Slice 74 of 155
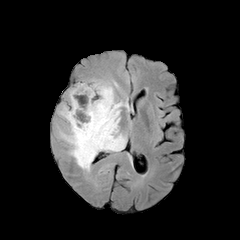
FLAIR MR.
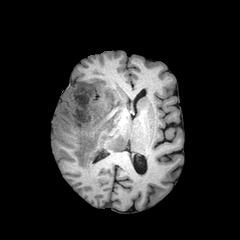
T1-weighted magnetic resonance.
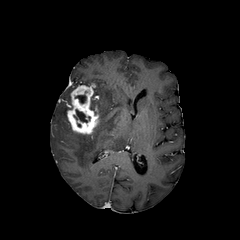
Post-contrast T1-weighted magnetic resonance of the same slice.
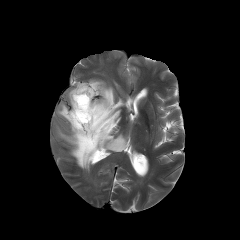
T2-weighted magnetic resonance.
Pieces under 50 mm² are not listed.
The 2 largest necrotic tumor core regions are bounded by [74,110,87,122], [75,95,86,103]. The largest peritumoral edema region lies within [57,79,129,171]. The enhancing tumor appears at [67,83,99,134].